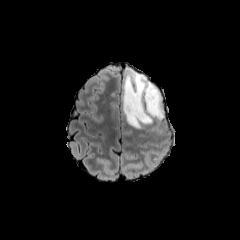
FLAIR MRI.
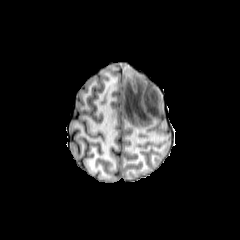
Same slice, T1-weighted MR image.
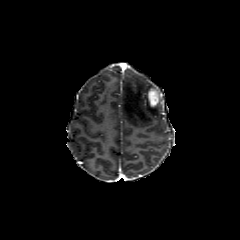
Post-contrast T1-weighted magnetic resonance.
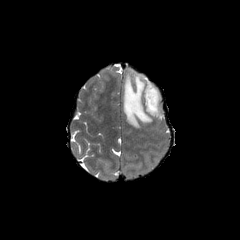
Same slice, T2-weighted MR.
Image size 240x240, Brain
peritumoral edema: bounding box bbox=[122, 70, 163, 128]
enhancing tumor: bounding box bbox=[147, 88, 160, 107]